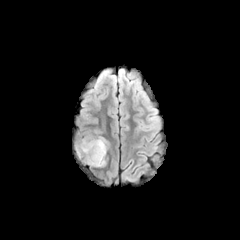
FLAIR MR image.
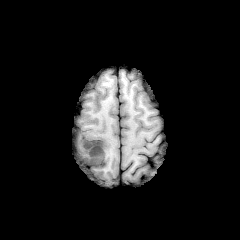
T1-weighted MR of the same slice.
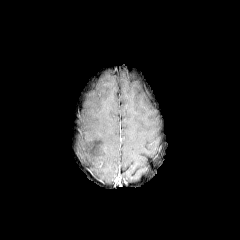
Post-contrast T1-weighted MR.
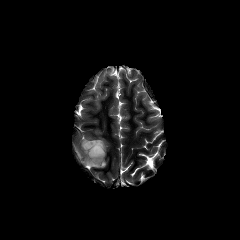
T2-weighted MRI.
Axial slice | Image size 240x240 | Brain
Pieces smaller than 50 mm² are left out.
peritumoral edema = x1=81, y1=137, x2=107, y2=167